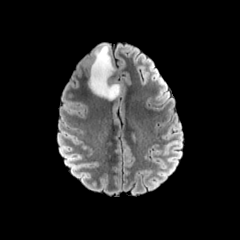
FLAIR MR image.
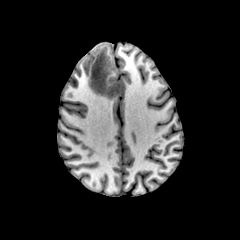
T1-weighted MRI.
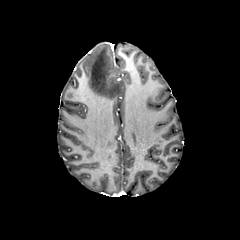
Post-contrast T1-weighted MRI.
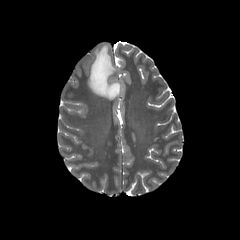
T2-weighted MR.
Head.
peritumoral edema: bbox=[88, 44, 120, 99]